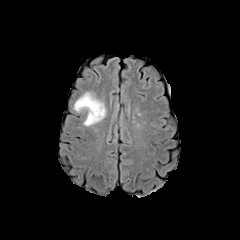
FLAIR MRI.
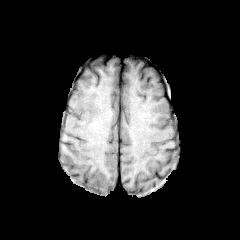
T1-weighted magnetic resonance.
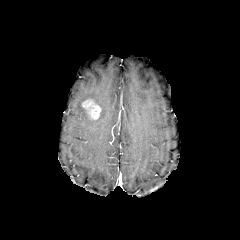
Post-contrast T1-weighted MR image.
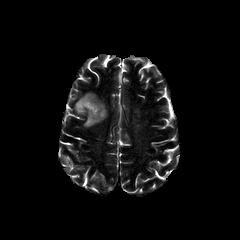
Same slice, T2-weighted magnetic resonance.
Brain
{
  "peritumoral_edema": [
    "bbox(74, 92, 106, 126)"
  ],
  "enhancing_tumor": [
    "bbox(82, 99, 101, 119)"
  ]
}